Head | Image size 240x240 | Slice 107 of 155 | Image width 240 mm, 1.00 mm slice spacing
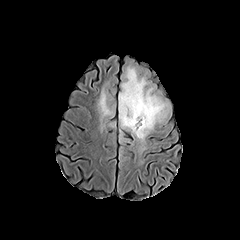
FLAIR MRI.
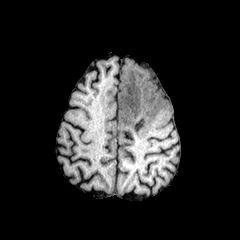
T1-weighted magnetic resonance.
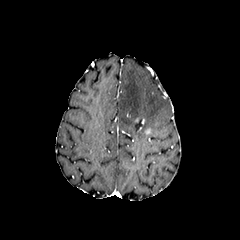
Same slice, post-contrast T1-weighted MR.
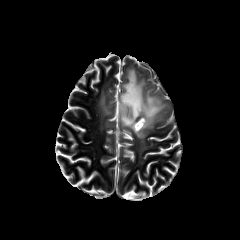
T2-weighted magnetic resonance.
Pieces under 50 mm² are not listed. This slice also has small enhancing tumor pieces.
necrotic tumor core — x1=126 y1=88 x2=136 y2=115, x1=134 y1=117 x2=143 y2=130
peritumoral edema — x1=98 y1=90 x2=112 y2=117, x1=118 y1=67 x2=167 y2=141